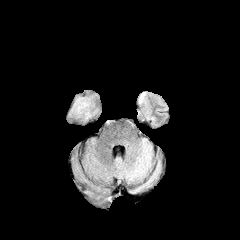
FLAIR MRI.
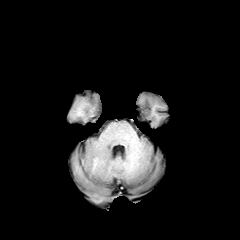
T1-weighted magnetic resonance.
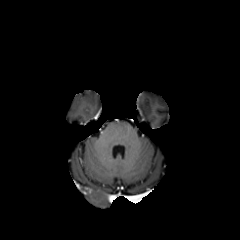
Post-contrast T1-weighted MRI of the same slice.
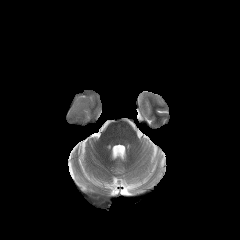
T2-weighted MR image of the same slice.
Head; Axial plane
Segmented structures:
* peritumoral edema: 66,90,100,123